Slice 57 of 155; Axial plane
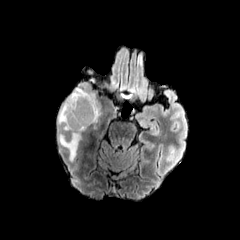
FLAIR MR image.
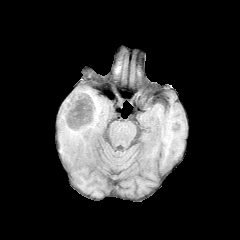
T1-weighted MR image.
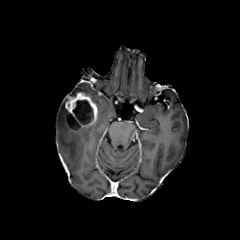
Post-contrast T1-weighted magnetic resonance of the same slice.
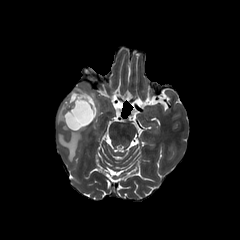
Same slice, T2-weighted MRI.
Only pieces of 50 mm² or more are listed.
- necrotic tumor core: 73, 100, 93, 124; 67, 113, 80, 128
- peritumoral edema: 58, 98, 86, 161; 69, 85, 100, 118
- enhancing tumor: 65, 91, 97, 130